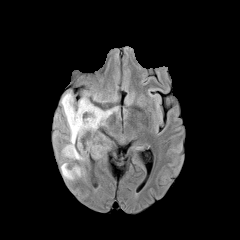
FLAIR MR.
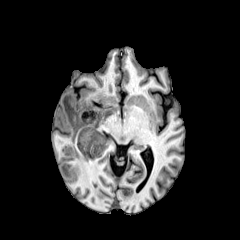
T1-weighted MR image.
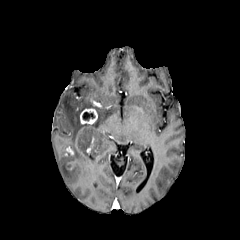
Post-contrast T1-weighted MR image of the same slice.
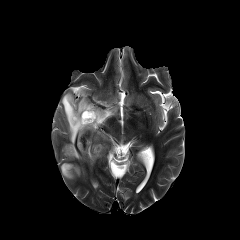
Same slice, T2-weighted MR image.
Axial plane
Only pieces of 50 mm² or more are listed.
enhancing tumor — rect(65, 146, 73, 155); rect(80, 108, 97, 124)
peritumoral edema — rect(60, 161, 84, 179); rect(60, 92, 117, 160)
necrotic tumor core — rect(82, 112, 94, 120)